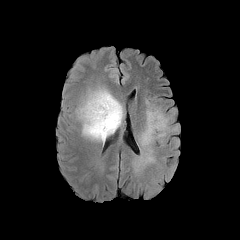
FLAIR MR.
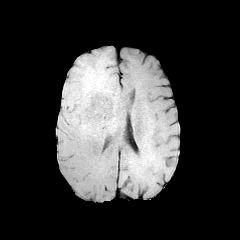
T1-weighted MRI.
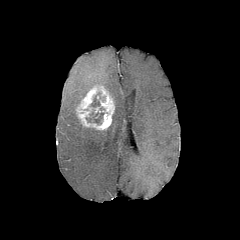
Post-contrast T1-weighted MRI.
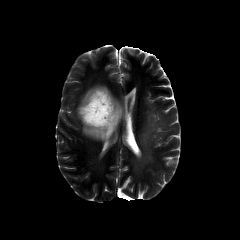
Same slice, T2-weighted MR image.
Axial plane
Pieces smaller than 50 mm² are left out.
{
  "peritumoral_edema": [
    "[x1=171, y1=139, x2=178, y2=155]",
    "[x1=134, y1=100, x2=178, y2=168]",
    "[x1=76, y1=86, x2=123, y2=142]"
  ],
  "enhancing_tumor": [
    "[x1=77, y1=87, x2=114, y2=129]"
  ],
  "necrotic_tumor_core": [
    "[x1=90, y1=95, x2=100, y2=107]",
    "[x1=86, y1=110, x2=104, y2=124]"
  ]
}